FLAIR MRI.
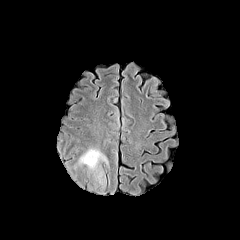
T1-weighted MR image.
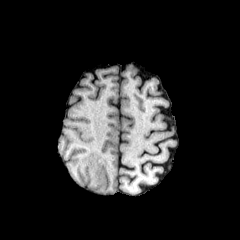
Post-contrast T1-weighted magnetic resonance.
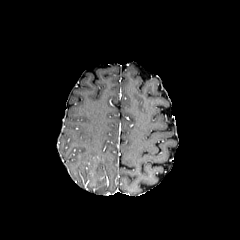
T2-weighted MR.
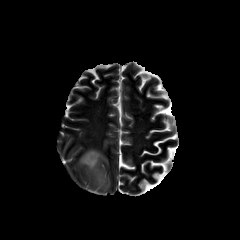
Head.
<segmentation>
  <peritumoral_edema>bbox(74, 147, 109, 171)</peritumoral_edema>
</segmentation>